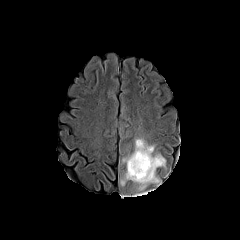
FLAIR magnetic resonance.
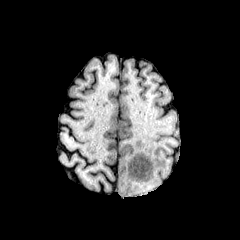
Same slice, T1-weighted MRI.
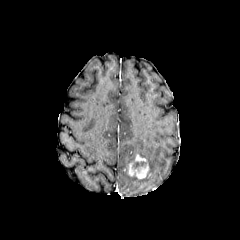
Post-contrast T1-weighted MR.
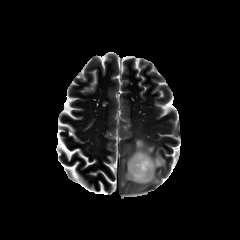
T2-weighted MRI.
240x240
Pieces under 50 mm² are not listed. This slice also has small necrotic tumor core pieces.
The largest enhancing tumor region is bounded by {"x1": 128, "y1": 154, "x2": 149, "y2": 179}. The peritumoral edema is at {"x1": 120, "y1": 138, "x2": 165, "y2": 190}.